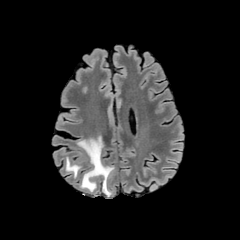
FLAIR MRI.
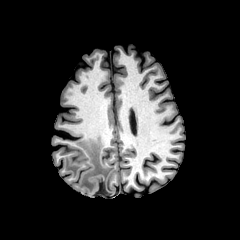
Same slice, T1-weighted MR.
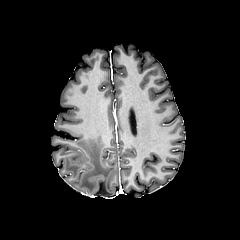
Post-contrast T1-weighted MRI of the same slice.
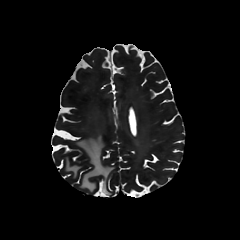
T2-weighted MR image.
2 peritumoral edema regions appear at x1=65 y1=156 x2=81 y2=177, x1=76 y1=137 x2=114 y2=195.